FLAIR MR.
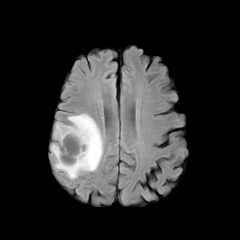
T1-weighted magnetic resonance.
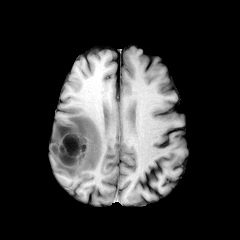
Post-contrast T1-weighted MR image.
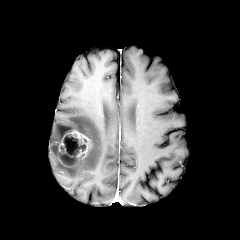
T2-weighted MR.
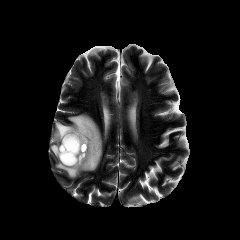
Image size 240x240
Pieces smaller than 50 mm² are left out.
necrotic tumor core: [59,153,84,165], [63,134,85,155] | enhancing tumor: [58,129,91,166] | peritumoral edema: [51,114,103,179]